FLAIR MR image.
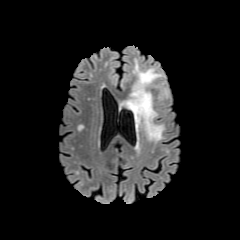
T1-weighted MRI.
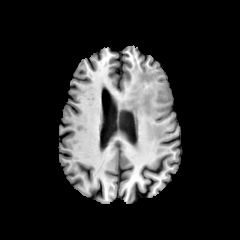
Post-contrast T1-weighted MR.
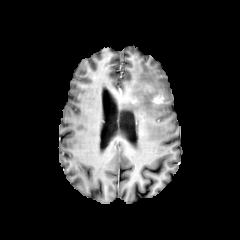
T2-weighted MR.
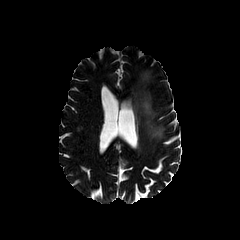
Brain; Axial slice; Image size 240x240
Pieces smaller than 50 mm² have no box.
{
  "enhancing_tumor": [
    "[x1=151, y1=93, x2=166, y2=104]",
    "[x1=132, y1=98, x2=139, y2=106]"
  ],
  "peritumoral_edema": [
    "[x1=125, y1=59, x2=164, y2=141]"
  ]
}